Axial view. Image width 240 mm, 1.00 mm slice spacing. Brain. Slice 116 of 155. 240x240.
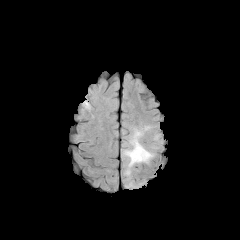
FLAIR magnetic resonance.
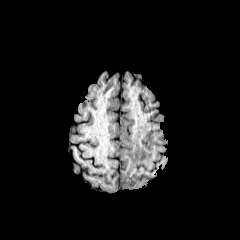
T1-weighted MR.
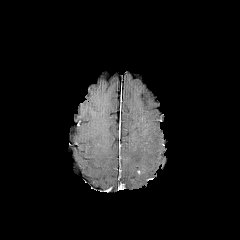
Same slice, post-contrast T1-weighted MRI.
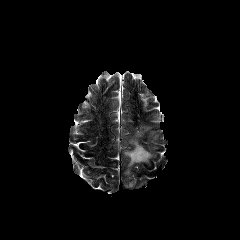
T2-weighted MR image.
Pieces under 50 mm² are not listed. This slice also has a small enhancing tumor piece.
{"peritumoral_edema": ["123,126,153,175"]}